Image covers 240 mm x 240 mm | Head | Slice index 118 | Image size 240x240
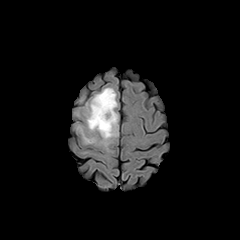
FLAIR MR.
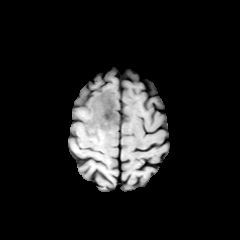
T1-weighted MRI of the same slice.
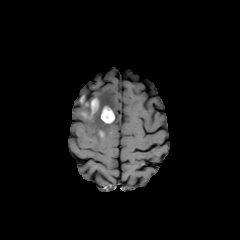
Post-contrast T1-weighted MRI of the same slice.
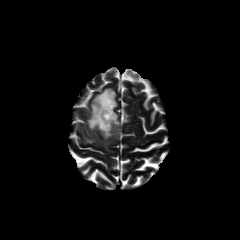
Same slice, T2-weighted MRI.
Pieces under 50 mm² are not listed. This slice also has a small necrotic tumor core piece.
<segmentation>
  <peritumoral_edema>[x1=77, y1=126, x2=96, y2=143], [x1=84, y1=87, x2=118, y2=147]</peritumoral_edema>
  <enhancing_tumor>[x1=91, y1=98, x2=98, y2=114], [x1=100, y1=106, x2=115, y2=123]</enhancing_tumor>
</segmentation>